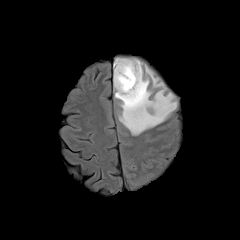
FLAIR magnetic resonance.
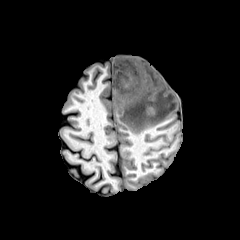
Same slice, T1-weighted magnetic resonance.
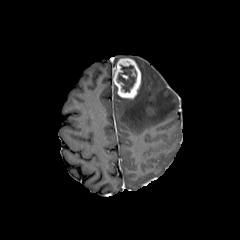
Post-contrast T1-weighted MRI.
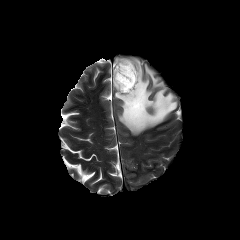
T2-weighted MRI.
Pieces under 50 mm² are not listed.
{
  "necrotic_tumor_core": [
    "117,65,136,92"
  ],
  "enhancing_tumor": [
    "113,58,140,98"
  ],
  "peritumoral_edema": [
    "114,58,177,135"
  ]
}